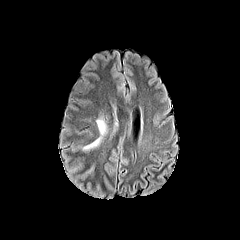
FLAIR magnetic resonance.
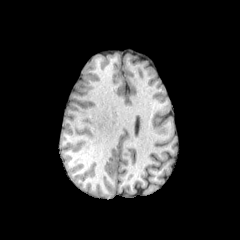
Same slice, T1-weighted MR image.
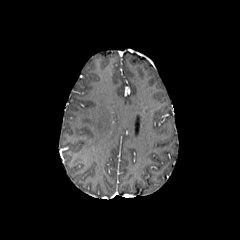
Same slice, post-contrast T1-weighted MR.
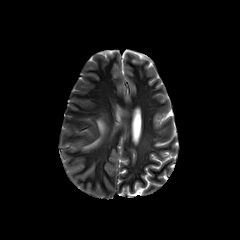
Same slice, T2-weighted MR.
240x240; Axial view
peritumoral edema: {"x1": 83, "y1": 112, "x2": 117, "y2": 150}